FLAIR MR image.
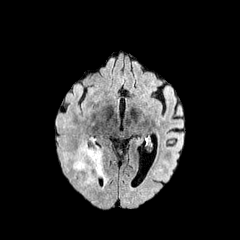
T1-weighted MRI.
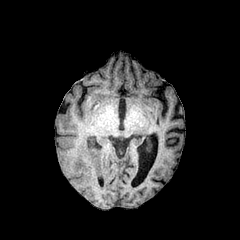
Post-contrast T1-weighted magnetic resonance.
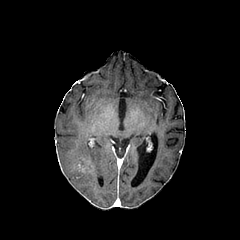
T2-weighted MR.
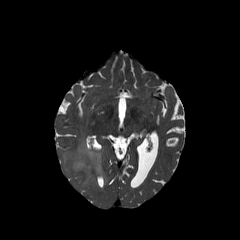
Head.
The enhancing tumor is at [74,161,86,172]. The peritumoral edema is at [64,141,108,186].